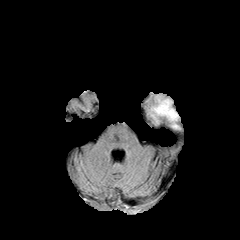
FLAIR MR image.
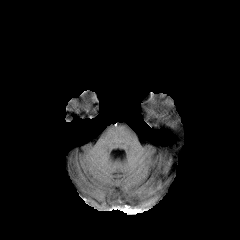
T1-weighted MRI.
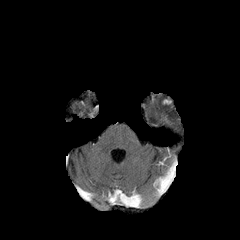
Post-contrast T1-weighted MR.
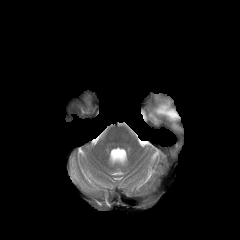
T2-weighted magnetic resonance.
Axial slice.
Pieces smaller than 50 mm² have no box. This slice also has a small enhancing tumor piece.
Segmented structures:
* peritumoral edema: box(150, 96, 178, 127)